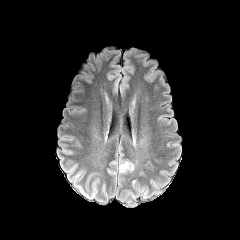
FLAIR magnetic resonance.
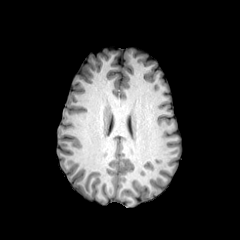
T1-weighted MR image of the same slice.
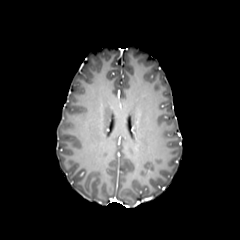
Post-contrast T1-weighted MR image of the same slice.
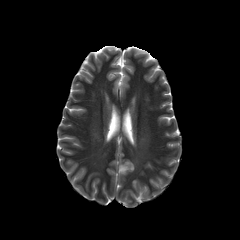
T2-weighted MRI.
{"peritumoral_edema": ["bbox=[119, 161, 130, 170]"]}